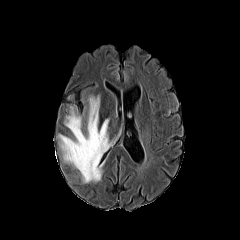
FLAIR MR.
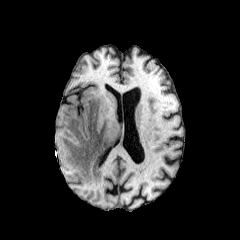
T1-weighted MR.
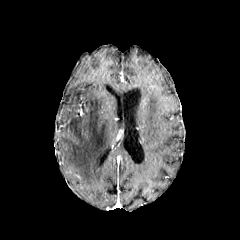
Post-contrast T1-weighted MR.
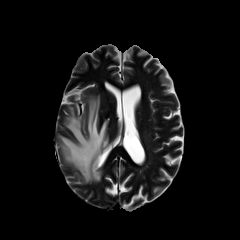
Same slice, T2-weighted MRI.
peritumoral edema: region(58, 96, 110, 182)